Slice 80 of 155; Axial slice
FLAIR magnetic resonance.
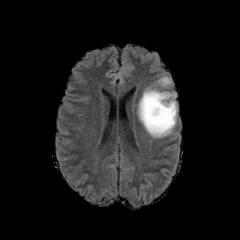
T1-weighted MR.
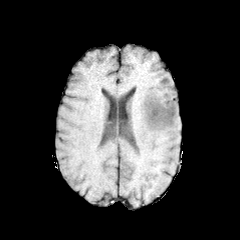
Post-contrast T1-weighted magnetic resonance.
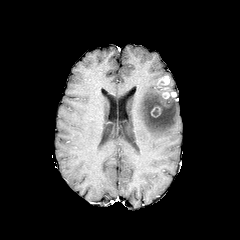
T2-weighted magnetic resonance.
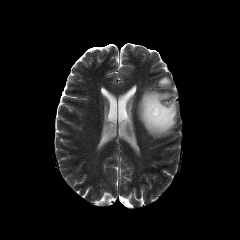
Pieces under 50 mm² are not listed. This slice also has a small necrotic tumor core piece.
enhancing tumor — box(162, 92, 176, 98); box(159, 76, 169, 85)
peritumoral edema — box(138, 88, 177, 137)